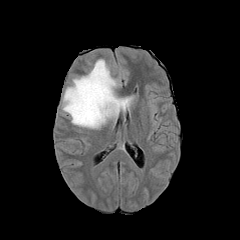
FLAIR MRI.
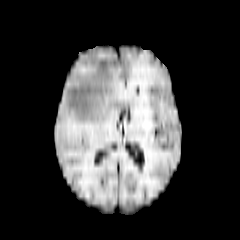
T1-weighted magnetic resonance.
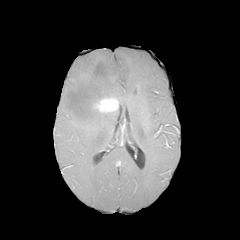
Post-contrast T1-weighted MRI.
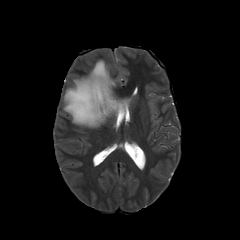
Same slice, T2-weighted MR image.
Image size 240x240, Axial slice
peritumoral edema = [62,59,133,128]
enhancing tumor = [93,97,118,112]